Axial slice
FLAIR MR image.
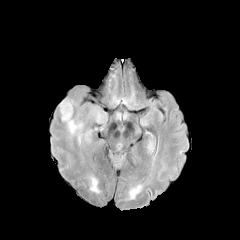
T1-weighted MR.
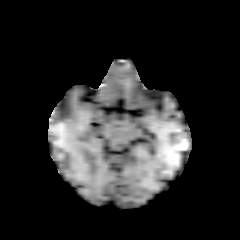
Post-contrast T1-weighted MR image.
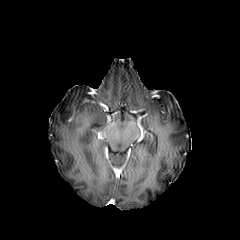
T2-weighted MR.
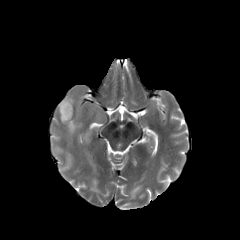
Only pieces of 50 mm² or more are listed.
peritumoral_edema:
  - <bbox>58, 100, 82, 135</bbox>